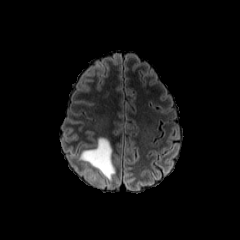
FLAIR MR.
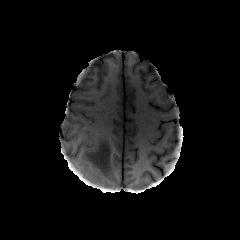
T1-weighted magnetic resonance.
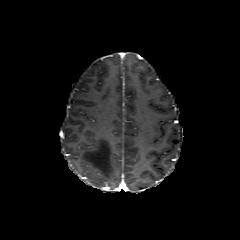
Post-contrast T1-weighted magnetic resonance.
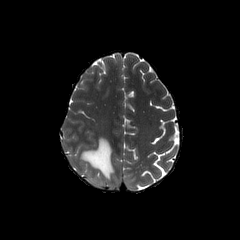
T2-weighted MR.
Image size 240x240 | Axial slice | Brain
The peritumoral edema lies within [x1=79, y1=137, x2=115, y2=180].